Axial view | Brain
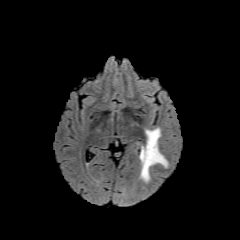
FLAIR MRI.
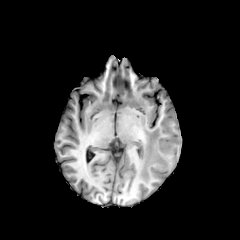
T1-weighted MR image of the same slice.
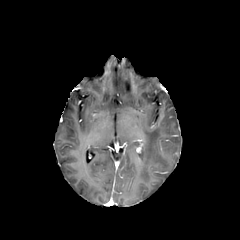
Post-contrast T1-weighted MR.
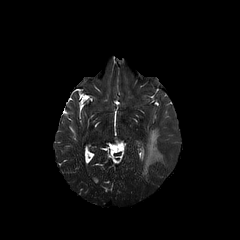
T2-weighted MR.
{
  "peritumoral_edema": [
    "region(140, 128, 167, 181)"
  ]
}